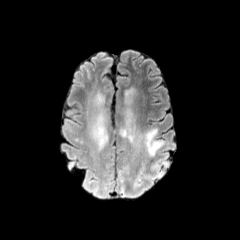
FLAIR MRI.
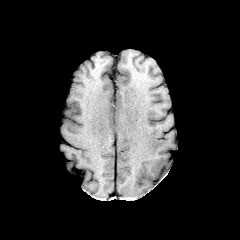
Same slice, T1-weighted magnetic resonance.
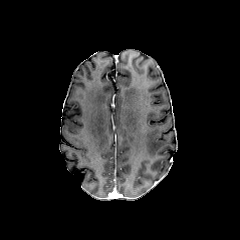
Post-contrast T1-weighted magnetic resonance.
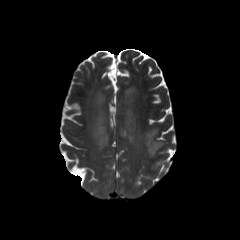
T2-weighted magnetic resonance of the same slice.
240x240. Head. Axial slice.
peritumoral edema at bbox=[91, 91, 107, 149]; bbox=[120, 108, 134, 142]; bbox=[137, 135, 142, 148]; bbox=[125, 92, 134, 105]; bbox=[145, 128, 161, 154]